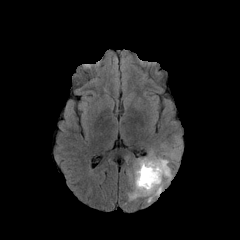
FLAIR MRI.
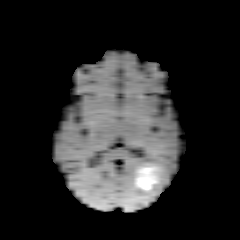
T1-weighted MRI of the same slice.
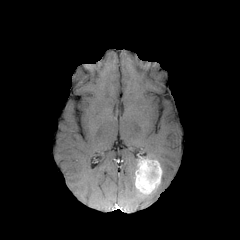
Same slice, post-contrast T1-weighted MR image.
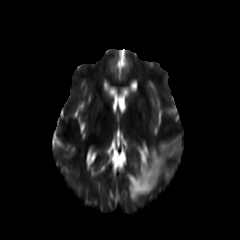
Same slice, T2-weighted MRI.
enhancing tumor: rect(134, 157, 162, 195) | peritumoral edema: rect(128, 136, 181, 202)